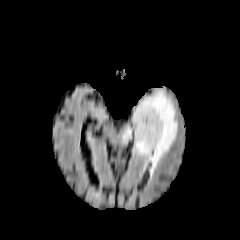
FLAIR MR.
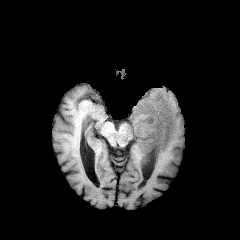
Same slice, T1-weighted magnetic resonance.
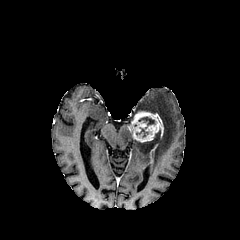
Post-contrast T1-weighted magnetic resonance.
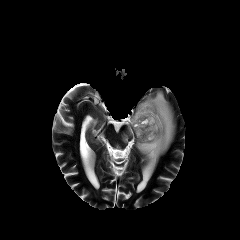
T2-weighted MR.
Brain | 240x240 px
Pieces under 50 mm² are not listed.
peritumoral edema at box(121, 125, 133, 142); box(132, 90, 176, 167)
enhancing tumor at box(128, 111, 163, 142)
necrotic tumor core at box(138, 117, 154, 128)